FLAIR magnetic resonance.
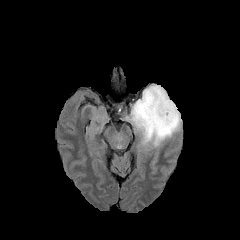
T1-weighted MR.
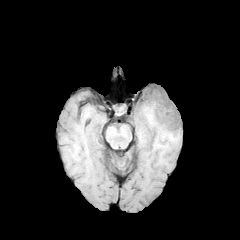
Post-contrast T1-weighted magnetic resonance.
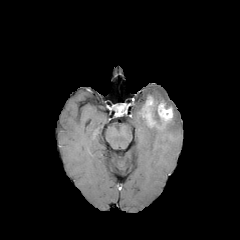
T2-weighted magnetic resonance.
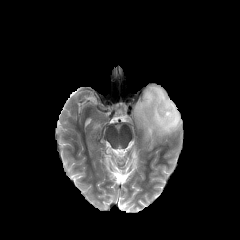
Axial slice, Head
peritumoral edema: [x1=152, y1=109, x2=161, y2=124], [x1=126, y1=84, x2=181, y2=146] | enhancing tumor: [x1=139, y1=94, x2=173, y2=128]